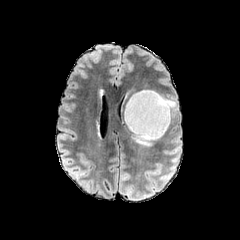
FLAIR magnetic resonance.
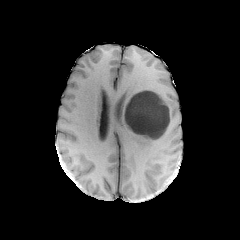
T1-weighted magnetic resonance.
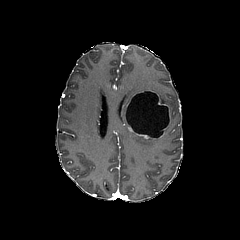
Same slice, post-contrast T1-weighted MRI.
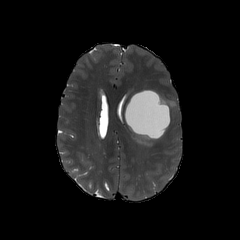
T2-weighted MR image of the same slice.
Brain | Axial plane
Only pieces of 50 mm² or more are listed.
enhancing tumor = <bbox>157, 94, 169, 118</bbox>, <bbox>135, 133, 158, 139</bbox>
necrotic tumor core = <bbox>126, 91, 169, 137</bbox>
peritumoral edema = <bbox>133, 133, 153, 146</bbox>, <bbox>160, 96, 174, 106</bbox>